Head.
FLAIR MR.
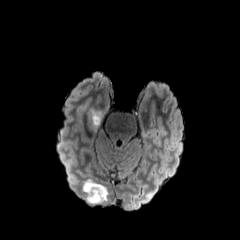
T1-weighted MR.
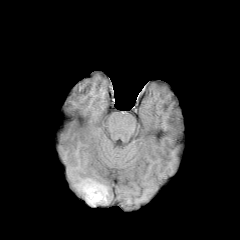
Post-contrast T1-weighted MRI.
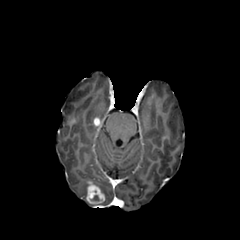
T2-weighted magnetic resonance.
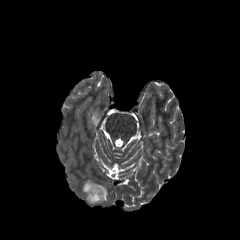
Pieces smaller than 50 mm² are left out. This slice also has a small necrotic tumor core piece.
{
  "peritumoral_edema": [
    "(left=82, top=179, right=108, bottom=204)",
    "(left=90, top=109, right=104, bottom=128)"
  ],
  "enhancing_tumor": [
    "(left=86, top=181, right=104, bottom=204)",
    "(left=93, top=117, right=100, bottom=125)"
  ]
}